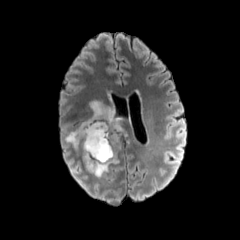
FLAIR magnetic resonance.
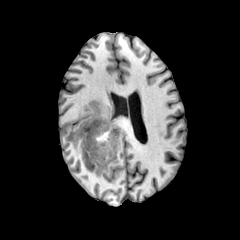
Same slice, T1-weighted magnetic resonance.
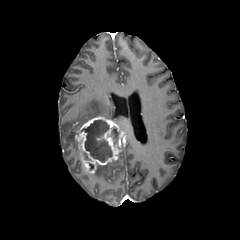
Post-contrast T1-weighted MRI.
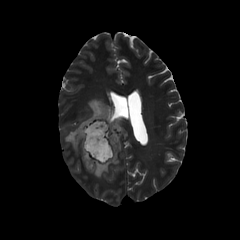
T2-weighted MR.
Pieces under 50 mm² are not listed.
Segmented structures:
• enhancing tumor: box(75, 116, 126, 173)
• necrotic tumor core: box(111, 127, 118, 144); box(81, 120, 112, 162)
• peritumoral edema: box(94, 163, 111, 177); box(65, 100, 120, 148)